Slice index 48; Image covers 240 mm x 240 mm
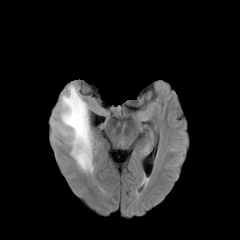
FLAIR MR image.
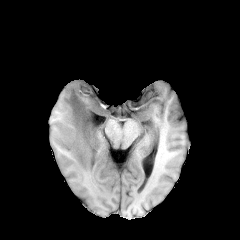
T1-weighted MR image.
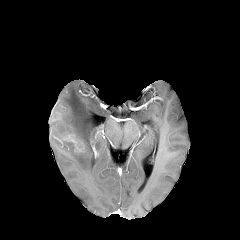
Post-contrast T1-weighted MRI.
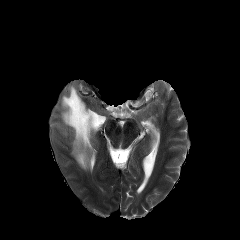
Same slice, T2-weighted MRI.
<segmentation>
  <peritumoral_edema>58:84:93:173</peritumoral_edema>
  <enhancing_tumor>65:135:84:152</enhancing_tumor>
</segmentation>